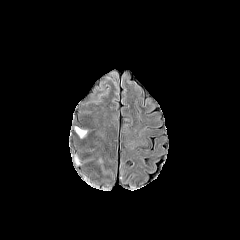
FLAIR MRI.
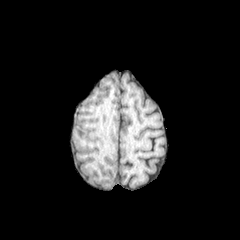
T1-weighted MRI.
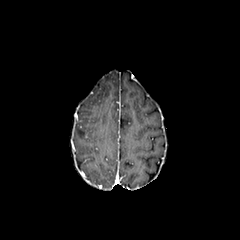
Post-contrast T1-weighted magnetic resonance.
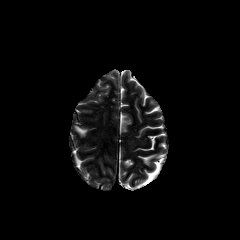
Same slice, T2-weighted MRI.
Brain; Image size 240x240; Axial view
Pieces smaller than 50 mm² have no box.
peritumoral edema: bounding box box=[75, 126, 87, 137]